FLAIR MRI.
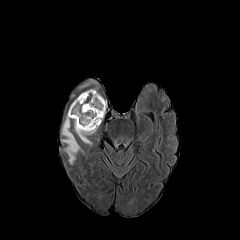
T1-weighted MR image.
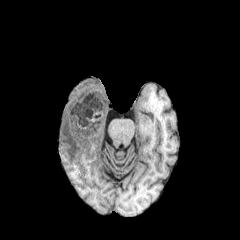
Post-contrast T1-weighted magnetic resonance.
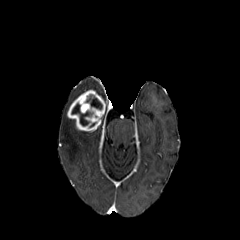
T2-weighted MR image.
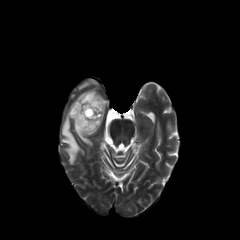
Axial plane
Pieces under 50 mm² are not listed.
Annotated regions:
• necrotic tumor core: (x1=71, y1=103, x2=93, y2=126), (x1=84, y1=95, x2=102, y2=109)
• peritumoral edema: (x1=79, y1=79, x2=96, y2=88), (x1=61, y1=115, x2=83, y2=164), (x1=74, y1=121, x2=95, y2=145)
• enhancing tumor: (x1=67, y1=89, x2=106, y2=132)